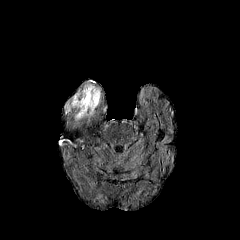
FLAIR MR.
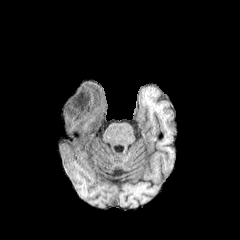
T1-weighted MR of the same slice.
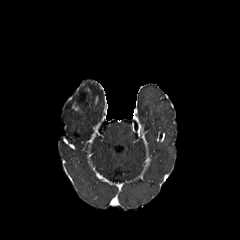
Post-contrast T1-weighted MR image of the same slice.
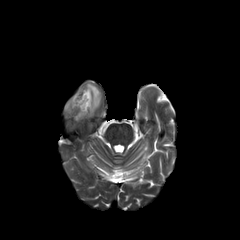
T2-weighted MR of the same slice.
Axial slice
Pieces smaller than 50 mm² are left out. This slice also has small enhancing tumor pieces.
The necrotic tumor core is located at [78, 92, 87, 102]. The peritumoral edema is at [65, 83, 100, 120].